Slice 100 of 155; Brain; Image size 240x240
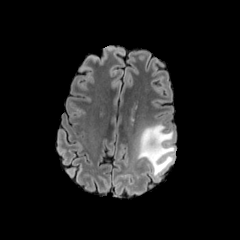
FLAIR MRI.
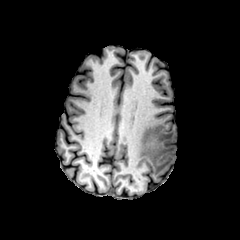
T1-weighted MR image.
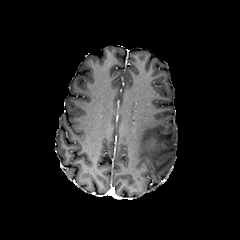
Post-contrast T1-weighted MR.
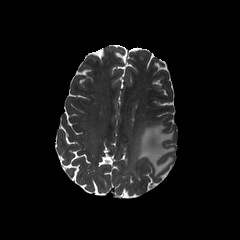
T2-weighted MR.
peritumoral_edema:
  - 137, 123, 175, 176